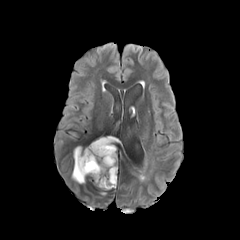
FLAIR MR.
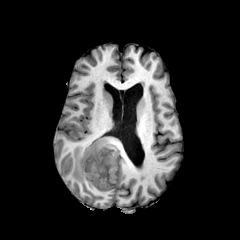
Same slice, T1-weighted magnetic resonance.
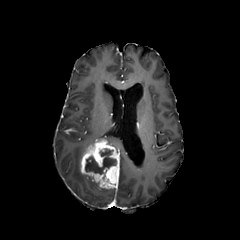
Post-contrast T1-weighted magnetic resonance.
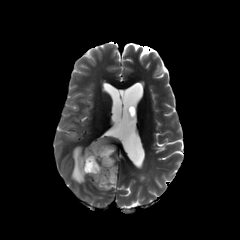
Same slice, T2-weighted magnetic resonance.
Head. 240x240 px.
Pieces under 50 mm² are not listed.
necrotic_tumor_core:
  - 85,149,115,174
peritumoral_edema:
  - 98,136,118,144
  - 72,146,85,183
enhancing_tumor:
  - 80,139,119,188